240x240, Brain, Slice 114/155
FLAIR magnetic resonance.
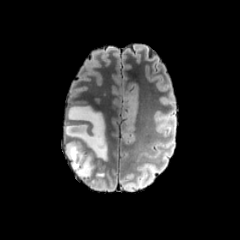
T1-weighted MR image.
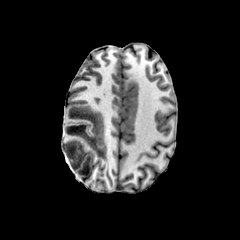
Post-contrast T1-weighted MRI.
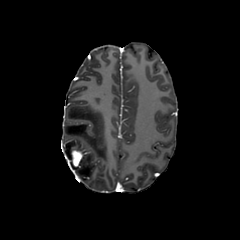
T2-weighted MR.
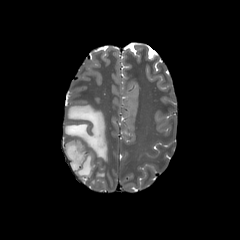
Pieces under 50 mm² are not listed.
The largest peritumoral edema region is at <bbox>64, 106, 107, 178</bbox>. The enhancing tumor lies within <bbox>71, 146, 83, 167</bbox>.